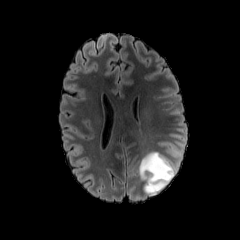
FLAIR MR image.
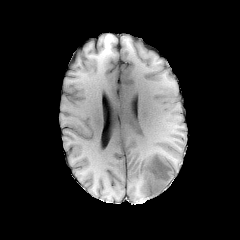
Same slice, T1-weighted MRI.
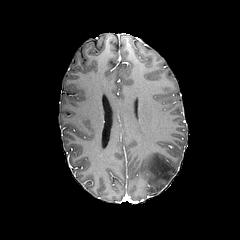
Post-contrast T1-weighted MRI.
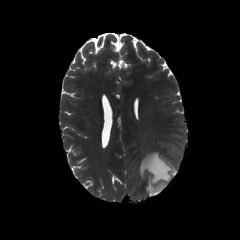
T2-weighted MR.
Brain, Axial plane
The peritumoral edema is located at region(138, 151, 178, 195).